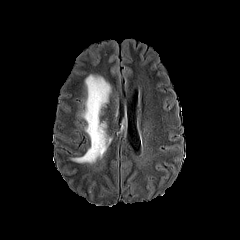
FLAIR MRI.
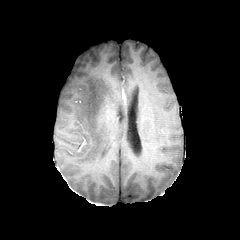
T1-weighted MRI.
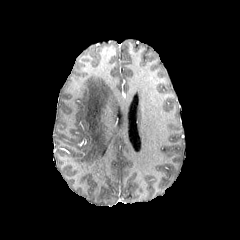
Post-contrast T1-weighted magnetic resonance.
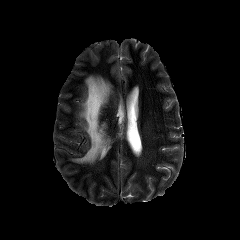
T2-weighted MR image.
Brain.
peritumoral edema — <bbox>72, 75, 111, 163</bbox>